Image width 240 mm, 1.00 mm slice spacing | Brain | Image size 240x240
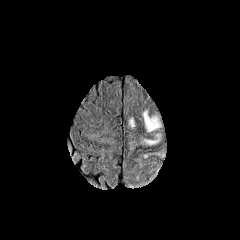
FLAIR MR image.
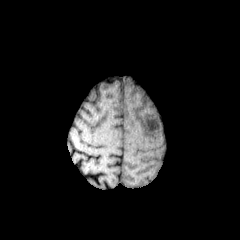
T1-weighted MRI.
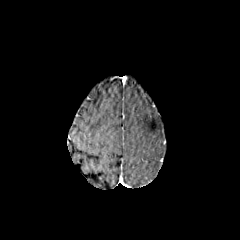
Same slice, post-contrast T1-weighted magnetic resonance.
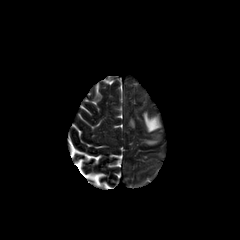
T2-weighted MR of the same slice.
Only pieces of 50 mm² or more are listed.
{"peritumoral_edema": ["box(145, 134, 160, 144)", "box(143, 112, 160, 131)"]}